Axial slice. Brain.
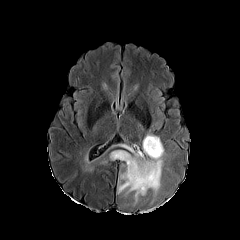
FLAIR MR.
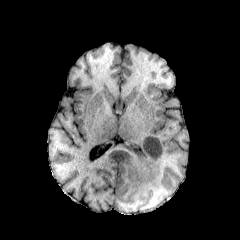
T1-weighted MRI.
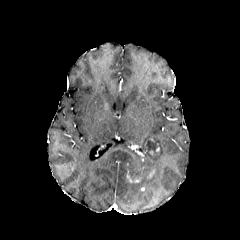
Post-contrast T1-weighted MR.
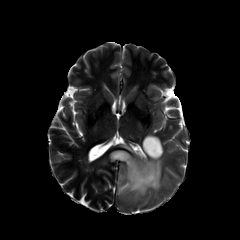
Same slice, T2-weighted magnetic resonance.
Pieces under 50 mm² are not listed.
enhancing tumor: bbox=[126, 171, 141, 182]
peritumoral edema: bbox=[110, 134, 164, 200]
necrotic tumor core: bbox=[146, 140, 159, 155]; bbox=[128, 167, 142, 179]